Image width 240 mm
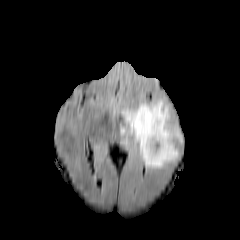
FLAIR MR.
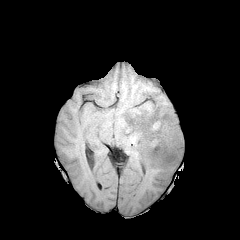
T1-weighted MRI.
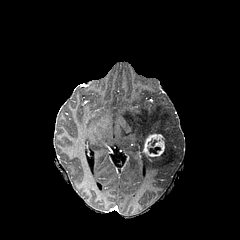
Post-contrast T1-weighted MRI.
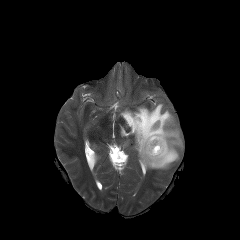
T2-weighted MR image.
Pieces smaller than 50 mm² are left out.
The largest enhancing tumor region lies within x1=143 y1=133 x2=165 y2=157. The peritumoral edema is located at x1=120 y1=99 x2=182 y2=169. The largest necrotic tumor core region appears at x1=149 y1=147 x2=160 y2=153.